240x240 px | Head | Slice 57 of 155
FLAIR MR.
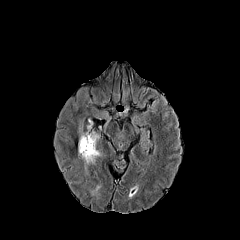
T1-weighted magnetic resonance.
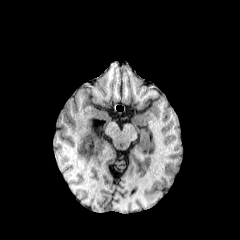
Post-contrast T1-weighted MR image.
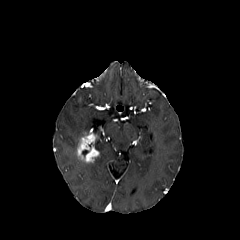
T2-weighted MR image.
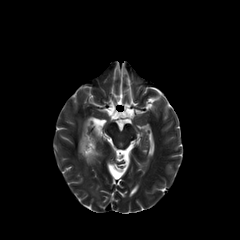
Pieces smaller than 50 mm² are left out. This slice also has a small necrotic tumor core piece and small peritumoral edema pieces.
The enhancing tumor is located at bbox(77, 132, 100, 162).